Slice 96 of 155
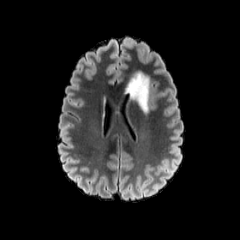
FLAIR MR image.
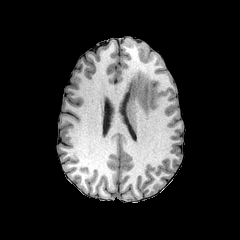
Same slice, T1-weighted MRI.
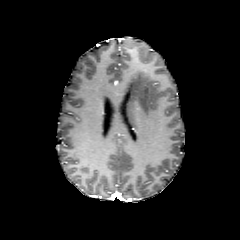
Post-contrast T1-weighted MR image.
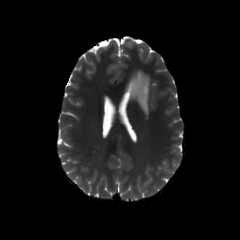
T2-weighted magnetic resonance.
Findings:
- peritumoral edema: 126 72 149 112